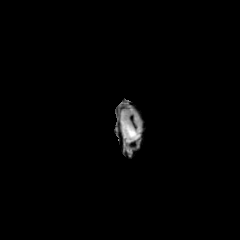
FLAIR magnetic resonance.
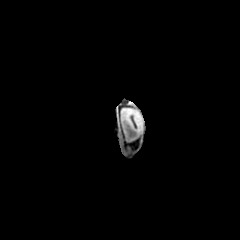
T1-weighted MR.
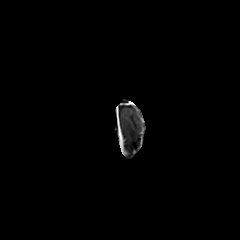
Post-contrast T1-weighted magnetic resonance.
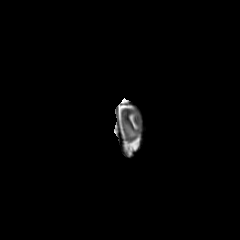
T2-weighted MRI of the same slice.
240x240 px.
peritumoral_edema:
  - {"x1": 123, "y1": 121, "x2": 139, "y2": 141}